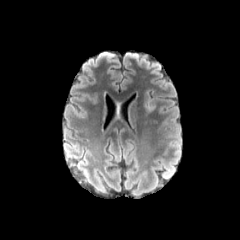
FLAIR MR image.
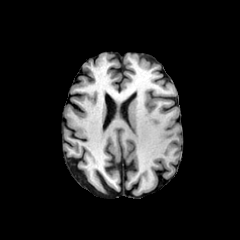
T1-weighted MRI.
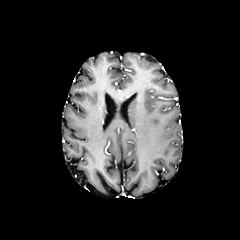
Post-contrast T1-weighted MR.
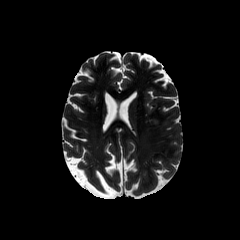
T2-weighted magnetic resonance of the same slice.
Head
peritumoral edema: rect(144, 88, 154, 112)